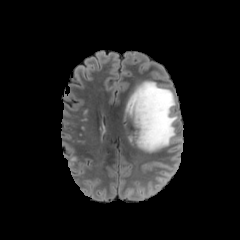
FLAIR magnetic resonance.
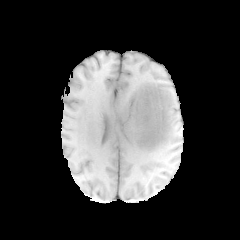
T1-weighted MR.
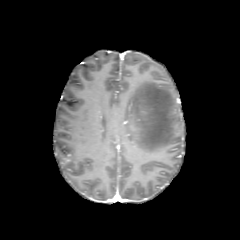
Post-contrast T1-weighted magnetic resonance.
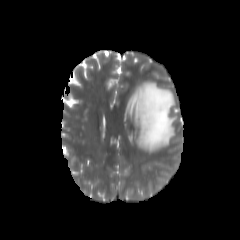
T2-weighted magnetic resonance.
Findings:
* peritumoral edema: 126,81,177,152